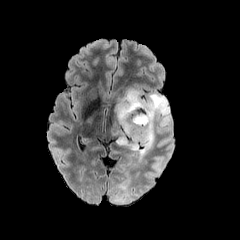
FLAIR MR image.
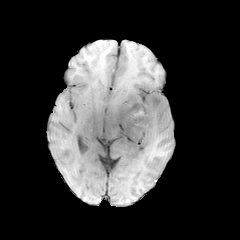
Same slice, T1-weighted magnetic resonance.
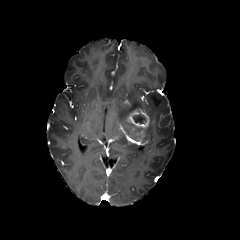
Same slice, post-contrast T1-weighted MR.
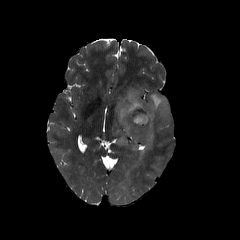
Same slice, T2-weighted MR.
Axial plane, Head
Segmented structures:
- necrotic tumor core: [133,114,145,123]
- peritumoral edema: [114,90,171,166], [158,138,169,146]
- enhancing tumor: [125,110,150,130]